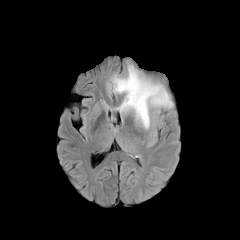
FLAIR magnetic resonance.
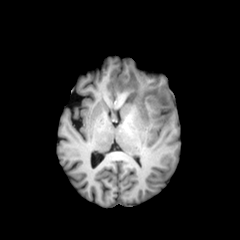
T1-weighted magnetic resonance.
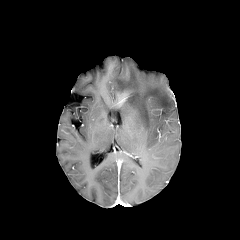
Post-contrast T1-weighted MRI of the same slice.
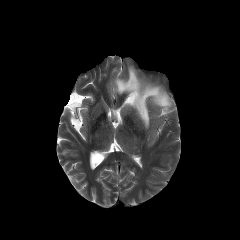
Same slice, T2-weighted MRI.
Brain; Image size 240x240; Axial plane
The peritumoral edema is located at (113,65,172,129).